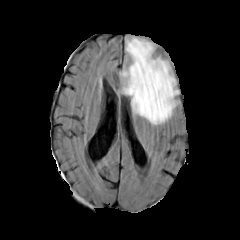
FLAIR magnetic resonance.
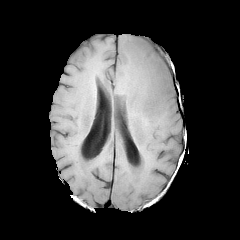
T1-weighted MR.
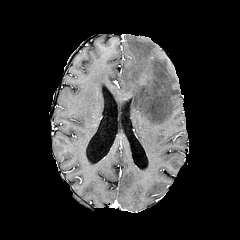
Post-contrast T1-weighted MRI.
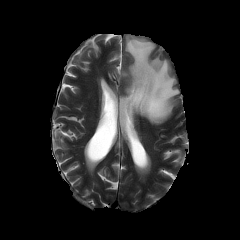
T2-weighted MR.
peritumoral edema = (left=120, top=37, right=176, bottom=124)